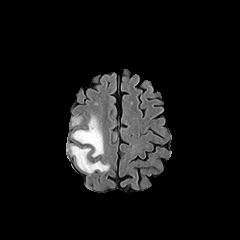
FLAIR MR.
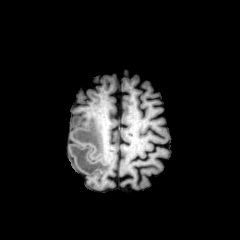
T1-weighted MR image.
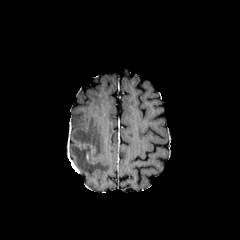
Post-contrast T1-weighted magnetic resonance.
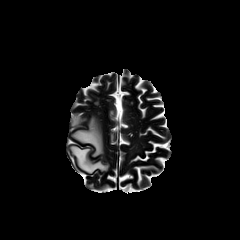
T2-weighted MR.
Head. Axial plane.
<segmentation>
  <peritumoral_edema>[70, 145, 109, 173], [72, 115, 103, 157], [72, 116, 81, 125]</peritumoral_edema>
</segmentation>